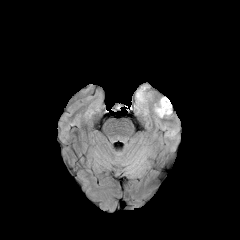
FLAIR magnetic resonance.
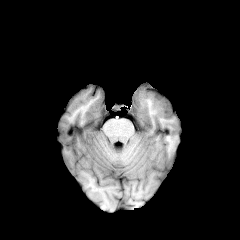
T1-weighted MRI.
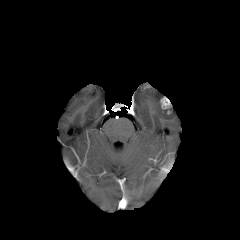
Same slice, post-contrast T1-weighted MR.
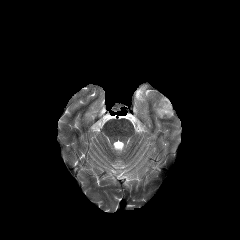
T2-weighted MRI.
Brain.
enhancing tumor: (left=160, top=96, right=171, bottom=114)
peritumoral edema: (left=134, top=84, right=152, bottom=116), (left=153, top=100, right=172, bottom=118)